FLAIR MR image.
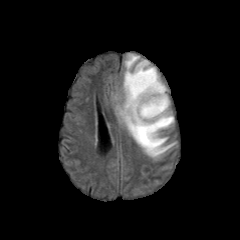
T1-weighted MR.
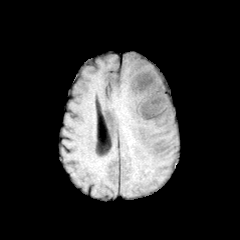
Post-contrast T1-weighted magnetic resonance.
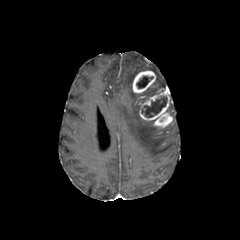
T2-weighted magnetic resonance.
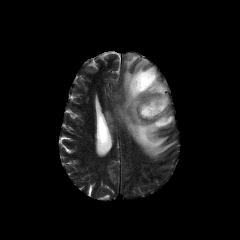
Head.
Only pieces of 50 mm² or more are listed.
<segmentation>
  <enhancing_tumor>region(132, 70, 156, 93); region(139, 87, 173, 127)</enhancing_tumor>
  <peritumoral_edema>region(116, 53, 175, 158)</peritumoral_edema>
  <necrotic_tumor_core>region(137, 76, 153, 88); region(142, 97, 167, 117)</necrotic_tumor_core>
</segmentation>